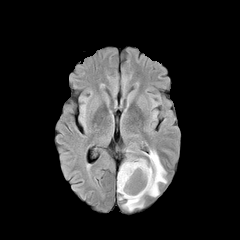
FLAIR MRI.
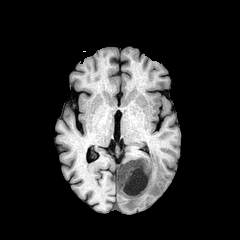
Same slice, T1-weighted MR image.
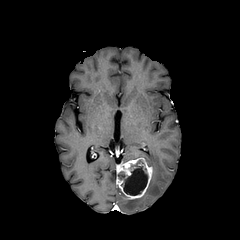
Same slice, post-contrast T1-weighted MRI.
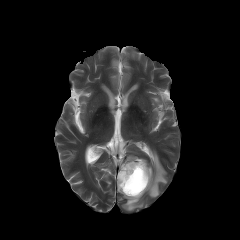
T2-weighted MR image of the same slice.
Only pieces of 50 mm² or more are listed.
peritumoral edema — 117,187,143,211; 145,150,166,197
enhancing tumor — 116,158,152,199
necrotic tumor core — 118,160,147,195